Head
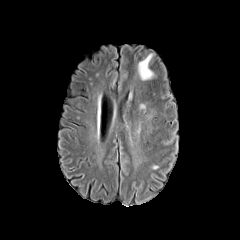
FLAIR MR image.
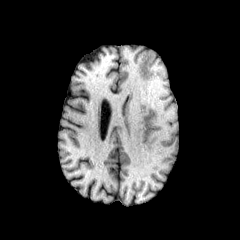
T1-weighted MR.
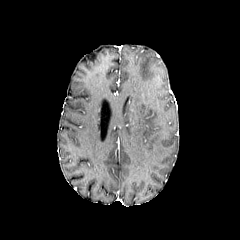
Same slice, post-contrast T1-weighted MR.
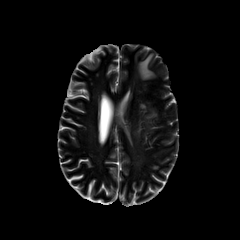
Same slice, T2-weighted MR.
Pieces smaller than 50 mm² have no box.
The largest peritumoral edema region appears at 138,54,153,79.